Slice index 105; Brain
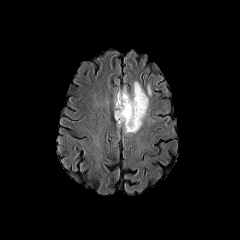
FLAIR MRI.
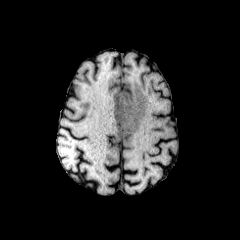
Same slice, T1-weighted MRI.
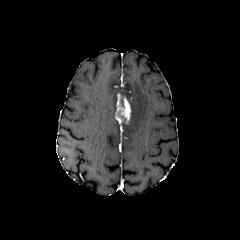
Same slice, post-contrast T1-weighted MRI.
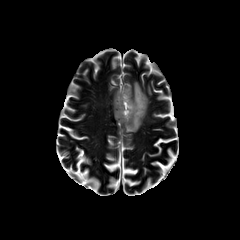
T2-weighted magnetic resonance of the same slice.
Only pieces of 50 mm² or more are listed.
* peritumoral edema: [118, 81, 148, 133]
* enhancing tumor: [115, 93, 131, 123]